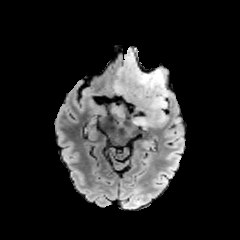
FLAIR MRI.
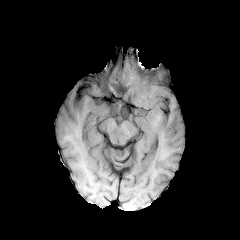
Same slice, T1-weighted MRI.
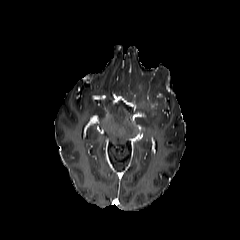
Post-contrast T1-weighted MR image of the same slice.
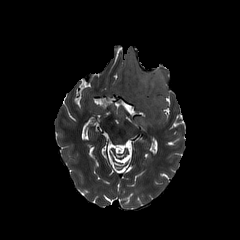
T2-weighted MRI.
Axial view
peritumoral edema: bbox(114, 49, 165, 125)